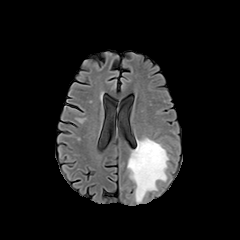
FLAIR MR image.
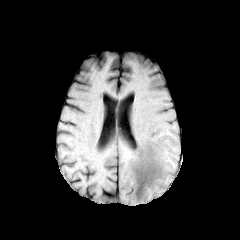
T1-weighted magnetic resonance of the same slice.
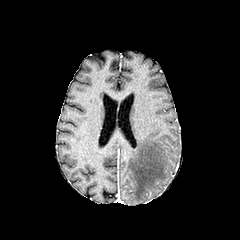
Post-contrast T1-weighted magnetic resonance.
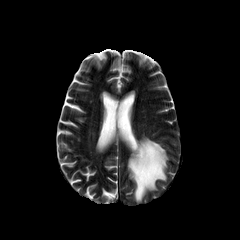
T2-weighted MR of the same slice.
240x240. Axial view. Head.
<segmentation>
  <peritumoral_edema>box(127, 138, 168, 202)</peritumoral_edema>
</segmentation>